FLAIR magnetic resonance.
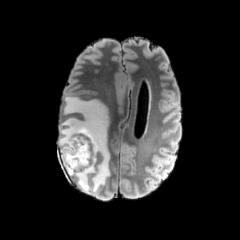
T1-weighted magnetic resonance.
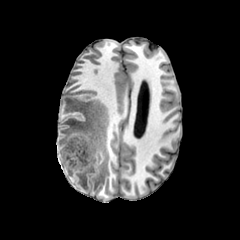
Post-contrast T1-weighted MRI.
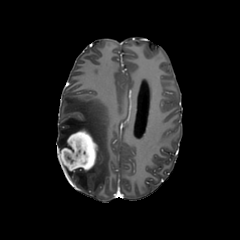
T2-weighted MRI.
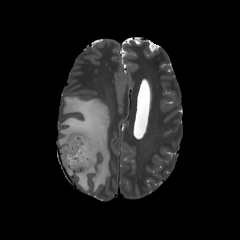
Axial slice | Head
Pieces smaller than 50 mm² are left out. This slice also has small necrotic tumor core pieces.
peritumoral_edema:
  - region(58, 95, 110, 194)
enhancing_tumor:
  - region(60, 129, 97, 171)